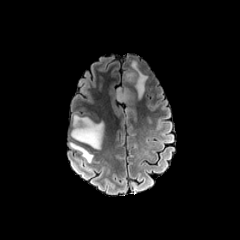
FLAIR MR.
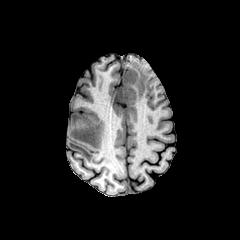
T1-weighted MR image.
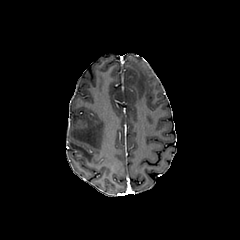
Post-contrast T1-weighted MR of the same slice.
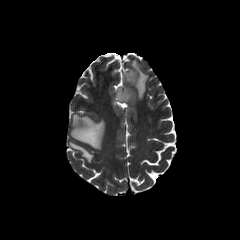
T2-weighted magnetic resonance of the same slice.
Axial slice
peritumoral_edema:
  - box(69, 142, 93, 162)
  - box(116, 88, 133, 101)
  - box(125, 61, 148, 99)
  - box(71, 115, 104, 149)